FLAIR MR.
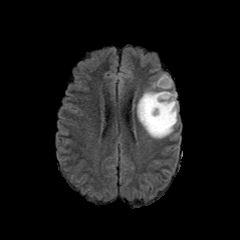
T1-weighted MRI.
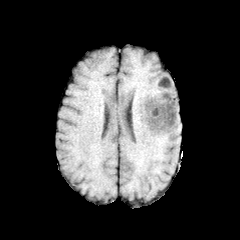
Post-contrast T1-weighted MRI.
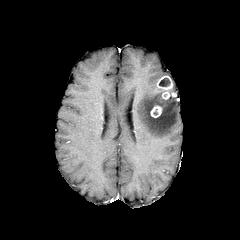
T2-weighted MRI.
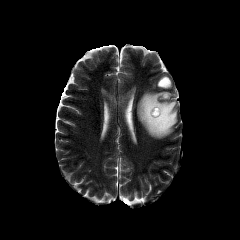
Axial plane
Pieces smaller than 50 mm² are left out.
enhancing_tumor:
  - (157, 76, 176, 99)
  - (150, 105, 162, 117)
peritumoral_edema:
  - (137, 90, 177, 138)
necrotic_tumor_core:
  - (159, 78, 170, 86)